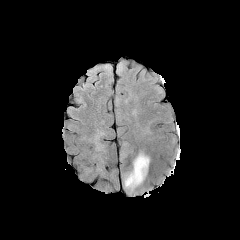
FLAIR MRI.
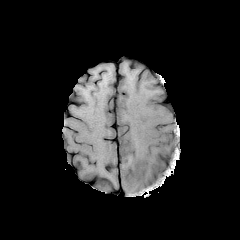
T1-weighted magnetic resonance.
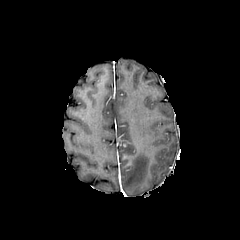
Post-contrast T1-weighted magnetic resonance.
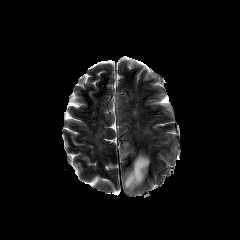
T2-weighted MR.
Brain
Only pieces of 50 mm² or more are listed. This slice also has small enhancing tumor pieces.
The largest peritumoral edema region lies within (left=123, top=151, right=149, bottom=194).